FLAIR magnetic resonance.
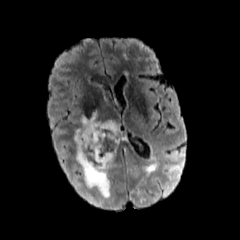
T1-weighted MR.
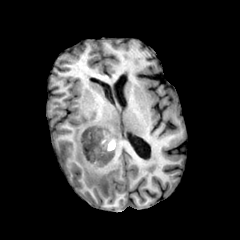
Post-contrast T1-weighted MR image.
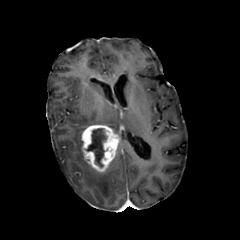
T2-weighted MRI.
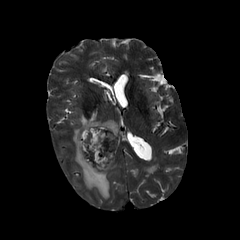
Axial slice. Image size 240x240.
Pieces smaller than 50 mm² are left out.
necrotic_tumor_core:
  - x1=87 y1=128 x2=106 y2=166
peritumoral_edema:
  - x1=74 y1=128 x2=112 y2=198
  - x1=80 y1=111 x2=119 y2=133
enhancing_tumor:
  - x1=81 y1=125 x2=120 y2=172